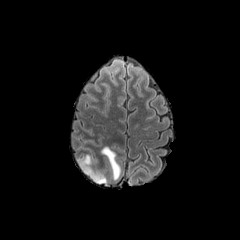
FLAIR MR.
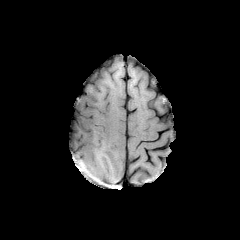
T1-weighted MR.
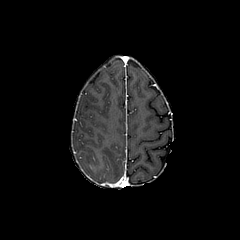
Same slice, post-contrast T1-weighted magnetic resonance.
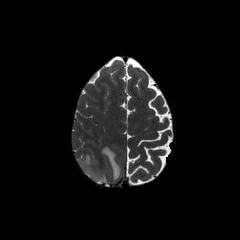
T2-weighted MR image.
peritumoral_edema:
  - left=101, top=146, right=120, bottom=180
  - left=78, top=155, right=106, bottom=183